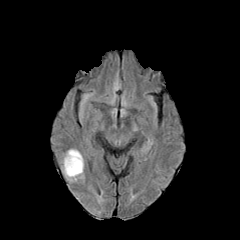
FLAIR MR.
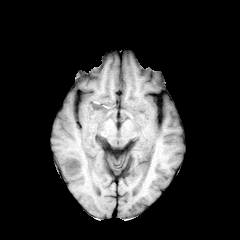
T1-weighted MR of the same slice.
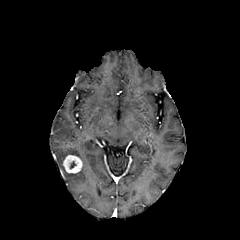
Post-contrast T1-weighted MR.
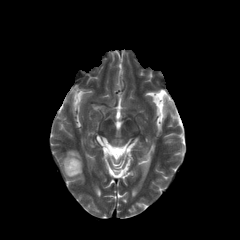
Same slice, T2-weighted MRI.
240x240
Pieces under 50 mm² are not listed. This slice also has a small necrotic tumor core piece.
• peritumoral edema: [60, 149, 84, 182]
• enhancing tumor: [63, 155, 82, 173]